240x240 px; Slice 96/155
FLAIR MR.
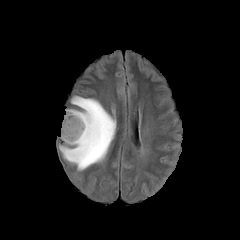
T1-weighted MRI.
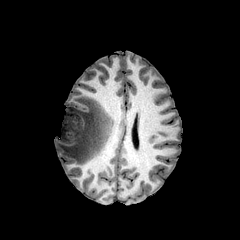
Post-contrast T1-weighted magnetic resonance.
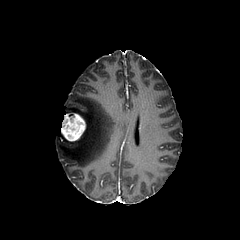
T2-weighted MR image.
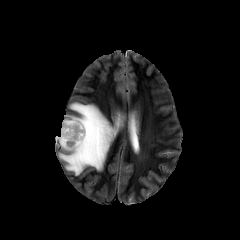
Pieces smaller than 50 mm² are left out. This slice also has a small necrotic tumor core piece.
peritumoral edema — (58, 96, 116, 170)
enhancing tumor — (61, 113, 85, 141)